Slice index 69, Axial view, Brain
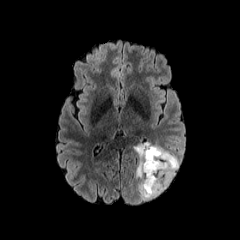
FLAIR MR.
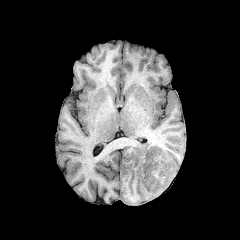
T1-weighted magnetic resonance.
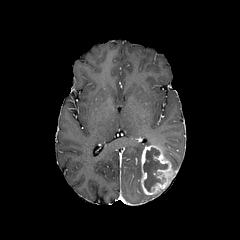
Post-contrast T1-weighted MRI.
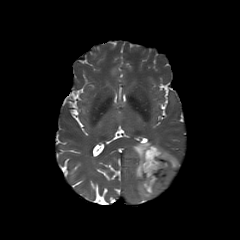
T2-weighted MR image.
The necrotic tumor core is located at x1=143 y1=147 x2=168 y2=192. The enhancing tumor is bounded by x1=140 y1=145 x2=173 y2=195. 2 peritumoral edema regions are bounded by x1=163 y1=148 x2=179 y2=175, x1=134 y1=142 x2=163 y2=199.